Slice index 101, Axial view
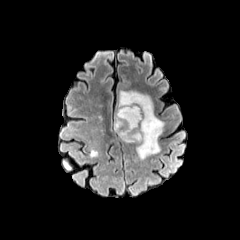
FLAIR MR.
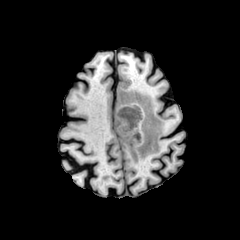
Same slice, T1-weighted MR image.
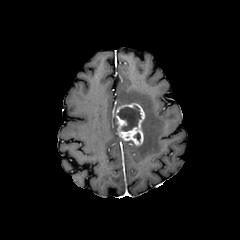
Post-contrast T1-weighted MR of the same slice.
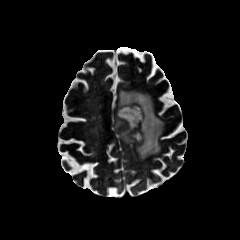
T2-weighted MR image of the same slice.
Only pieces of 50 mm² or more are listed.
<segmentation>
  <necrotic_tumor_core>bbox(117, 106, 140, 131)</necrotic_tumor_core>
  <enhancing_tumor>bbox(115, 102, 144, 146)</enhancing_tumor>
  <peritumoral_edema>bbox(119, 91, 164, 159)</peritumoral_edema>
</segmentation>